Image width 240 mm, 1.00 mm slice spacing | Slice index 58
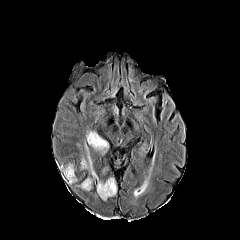
FLAIR MRI.
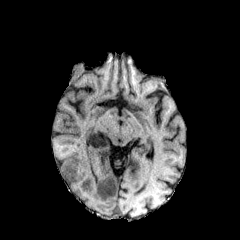
Same slice, T1-weighted MRI.
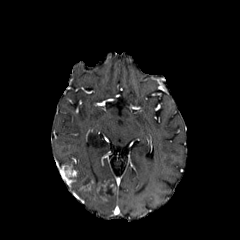
Post-contrast T1-weighted magnetic resonance.
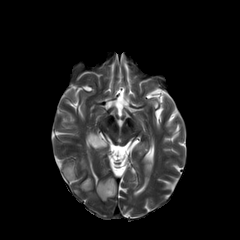
T2-weighted MRI of the same slice.
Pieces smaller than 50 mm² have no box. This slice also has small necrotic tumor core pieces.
enhancing_tumor:
  - 80, 180, 93, 191
  - 58, 164, 77, 183
  - 96, 179, 113, 200
peritumoral_edema:
  - 87, 131, 109, 155
  - 81, 144, 97, 179